Slice 65 of 155
FLAIR MR.
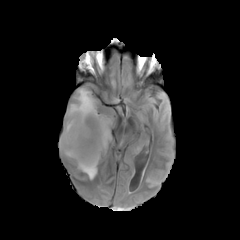
T1-weighted magnetic resonance.
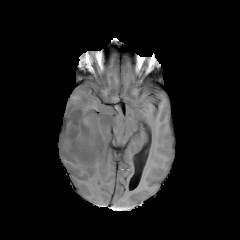
Post-contrast T1-weighted MR image.
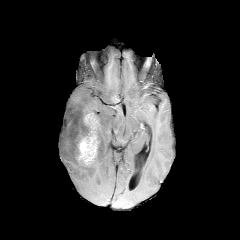
T2-weighted MR image.
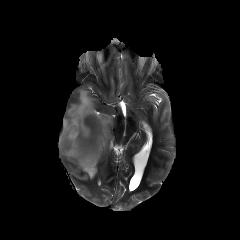
peritumoral_edema:
  - region(59, 87, 111, 179)
enhancing_tumor:
  - region(76, 113, 99, 165)